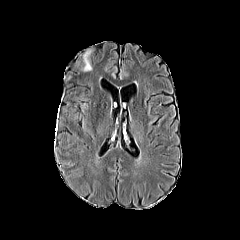
FLAIR MRI.
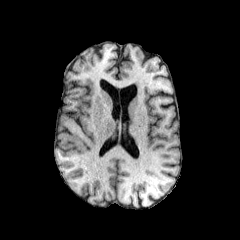
Same slice, T1-weighted MR image.
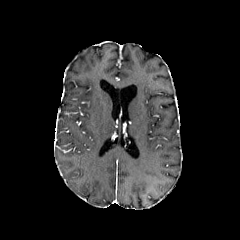
Post-contrast T1-weighted MR image.
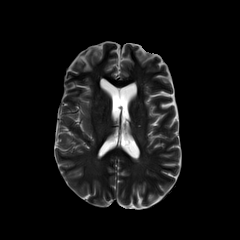
T2-weighted MRI of the same slice.
Head | Axial view
peritumoral edema = [81,48,93,71]